Brain
FLAIR MR image.
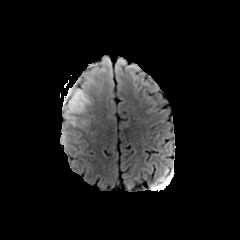
T1-weighted MR image.
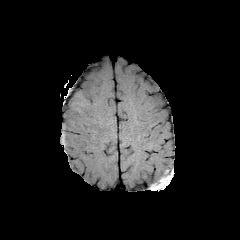
Post-contrast T1-weighted MRI.
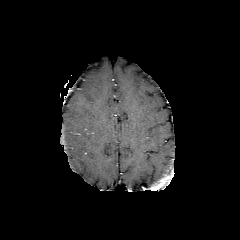
T2-weighted magnetic resonance.
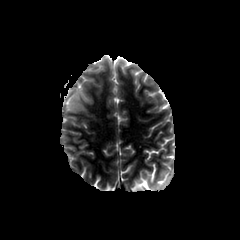
peritumoral edema — <box>62,85,92,127</box>